Slice 95/155
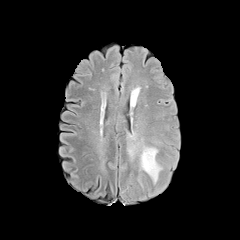
FLAIR MRI.
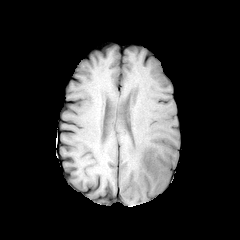
T1-weighted MR image of the same slice.
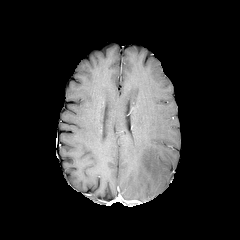
Post-contrast T1-weighted MR of the same slice.
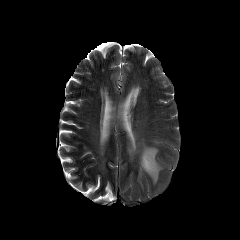
Same slice, T2-weighted MR image.
<segmentation>
  <peritumoral_edema>region(127, 136, 162, 183)</peritumoral_edema>
</segmentation>